Image width 240 mm | Brain
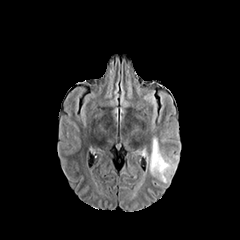
FLAIR MR.
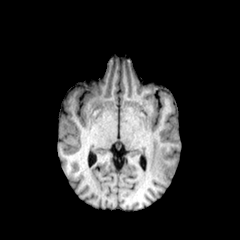
Same slice, T1-weighted magnetic resonance.
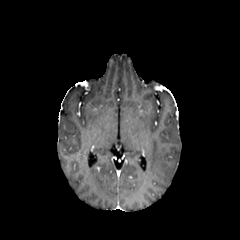
Same slice, post-contrast T1-weighted MRI.
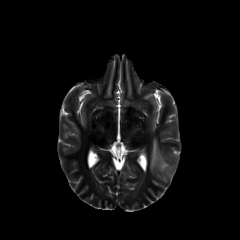
T2-weighted magnetic resonance.
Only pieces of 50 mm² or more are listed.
The largest peritumoral edema region lies within left=150, top=137, right=176, bottom=182.